FLAIR MR image.
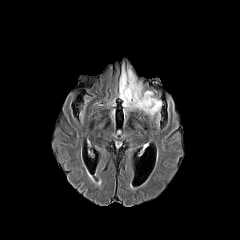
T1-weighted MR image.
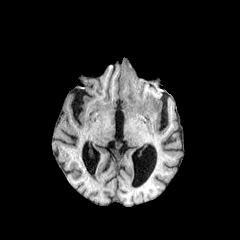
Post-contrast T1-weighted MRI.
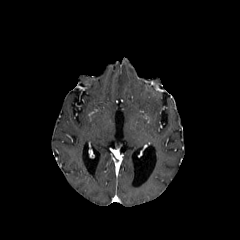
T2-weighted MR image.
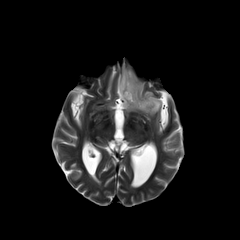
Annotated regions:
- peritumoral edema: (left=118, top=64, right=161, bottom=121)